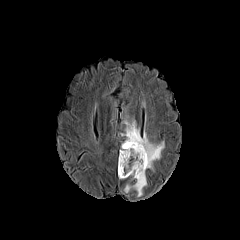
FLAIR MR image.
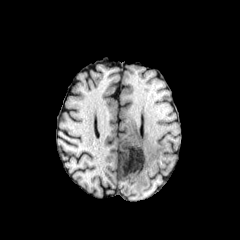
Same slice, T1-weighted MR.
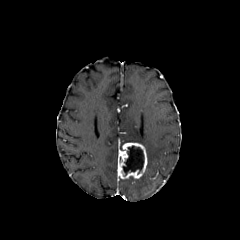
Post-contrast T1-weighted MR image.
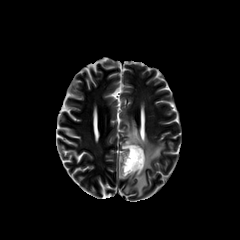
T2-weighted MR image of the same slice.
240x240 px; Brain
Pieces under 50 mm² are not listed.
enhancing tumor = (118,142,147,179)
necrotic tumor core = (122,146,144,175)
peritumoral edema = (124,173,147,196), (122,118,164,170)